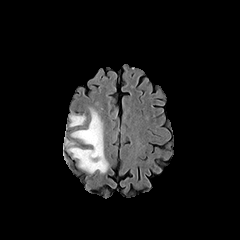
FLAIR magnetic resonance.
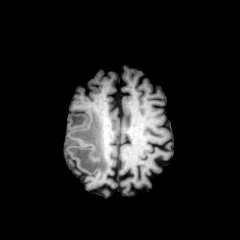
Same slice, T1-weighted MRI.
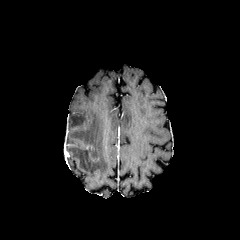
Post-contrast T1-weighted MR image of the same slice.
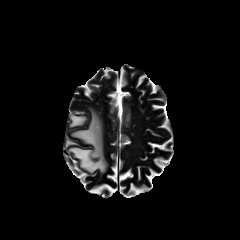
Same slice, T2-weighted MR image.
Image size 240x240, Axial plane, Head
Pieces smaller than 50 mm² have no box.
{"peritumoral_edema": ["[x1=68, y1=108, x2=108, y2=173]", "[x1=70, y1=114, x2=86, y2=127]"]}